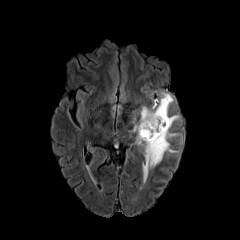
FLAIR MR image.
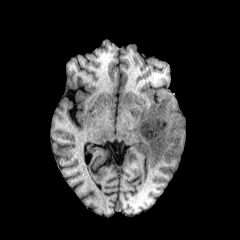
T1-weighted MR.
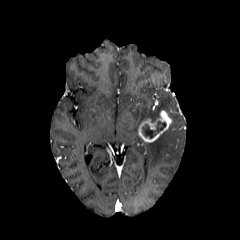
Same slice, post-contrast T1-weighted magnetic resonance.
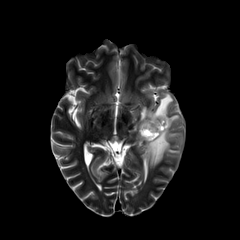
T2-weighted MR image.
Head
Findings:
* enhancing tumor: (138,110,171,142)
* peritumoral edema: (143,129,182,182), (169,115,179,128), (131,92,173,143)
* necrotic tumor core: (142,121,166,138)